Image size 240x240; Axial plane; Head
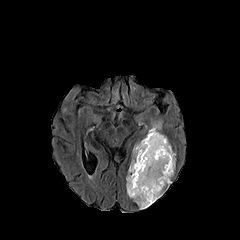
FLAIR magnetic resonance.
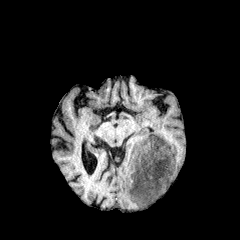
T1-weighted MR of the same slice.
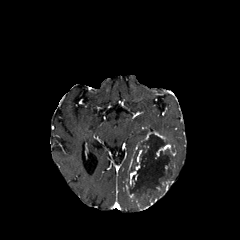
Post-contrast T1-weighted MR.
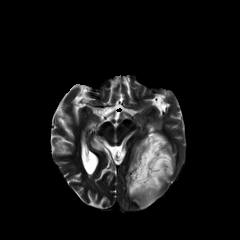
T2-weighted MRI.
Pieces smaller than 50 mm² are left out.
* necrotic tumor core: (x1=127, y1=134, x2=173, y2=207), (x1=129, y1=156, x2=137, y2=172)
* enhancing tumor: (x1=135, y1=198, x2=157, y2=209), (x1=162, y1=177, x2=171, y2=187), (x1=126, y1=184, x2=135, y2=200), (x1=156, y1=143, x2=175, y2=162), (x1=129, y1=150, x2=142, y2=186), (x1=141, y1=131, x2=166, y2=141)
* peritumoral edema: (x1=148, y1=121, x2=162, y2=134)